Head.
FLAIR MR.
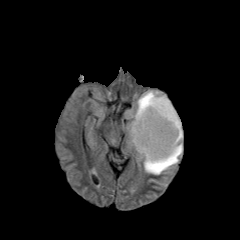
T1-weighted MR.
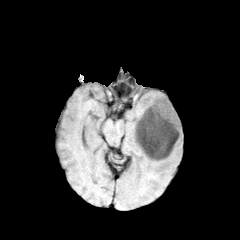
Post-contrast T1-weighted MR.
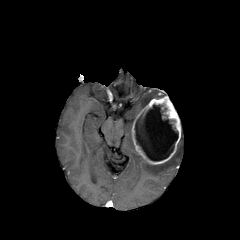
T2-weighted magnetic resonance.
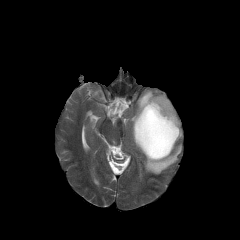
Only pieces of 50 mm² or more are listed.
{
  "necrotic_tumor_core": [
    "box=[135, 105, 178, 161]"
  ],
  "enhancing_tumor": [
    "box=[131, 96, 181, 164]"
  ],
  "peritumoral_edema": [
    "box=[124, 90, 165, 147]",
    "box=[137, 131, 183, 174]"
  ]
}